Axial plane, 240x240 px
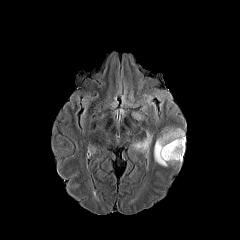
FLAIR MRI.
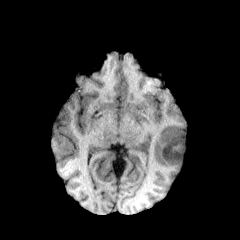
Same slice, T1-weighted MR image.
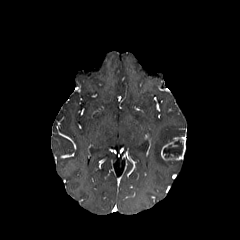
Same slice, post-contrast T1-weighted MR.
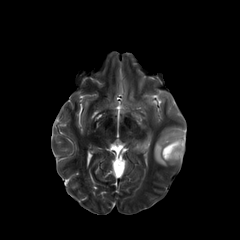
T2-weighted MR image.
The necrotic tumor core appears at region(163, 140, 183, 157). 2 peritumoral edema regions appear at region(154, 129, 184, 166); region(133, 139, 148, 150). The enhancing tumor lies within region(161, 137, 185, 161).